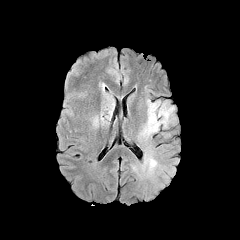
FLAIR magnetic resonance.
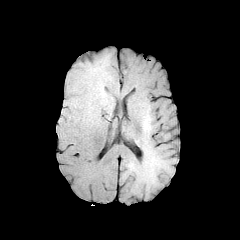
T1-weighted MR.
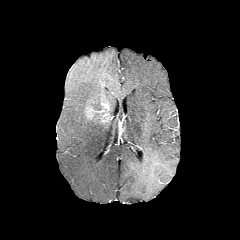
Post-contrast T1-weighted MR of the same slice.
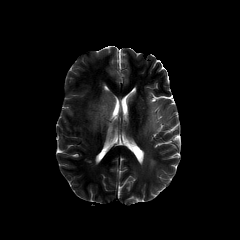
T2-weighted MRI.
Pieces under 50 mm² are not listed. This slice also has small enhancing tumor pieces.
2 peritumoral edema regions appear at {"x1": 131, "y1": 88, "x2": 178, "y2": 188}, {"x1": 86, "y1": 96, "x2": 114, "y2": 126}.